Image size 240x240. Slice index 38. Head. Axial plane.
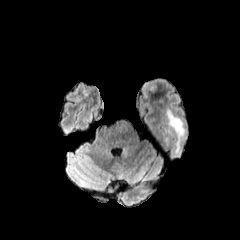
FLAIR MRI.
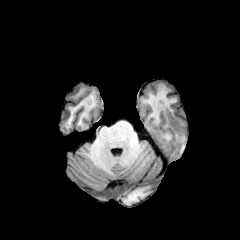
Same slice, T1-weighted MR image.
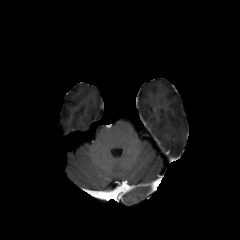
Post-contrast T1-weighted MR image.
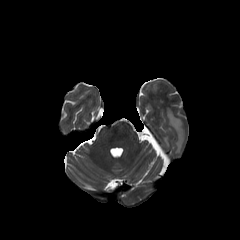
T2-weighted MR.
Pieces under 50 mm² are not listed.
peritumoral edema — [166,108,184,155]